Axial slice, Slice 94/155
FLAIR magnetic resonance.
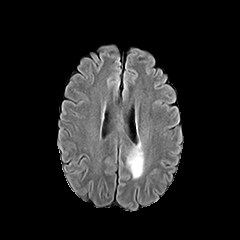
T1-weighted MR.
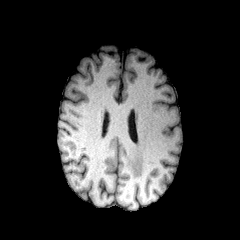
Post-contrast T1-weighted magnetic resonance.
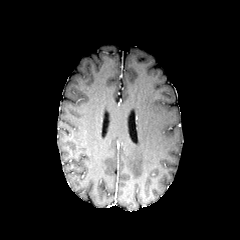
T2-weighted MR image.
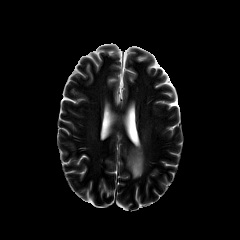
The peritumoral edema is bounded by (127,141,144,178).